FLAIR magnetic resonance.
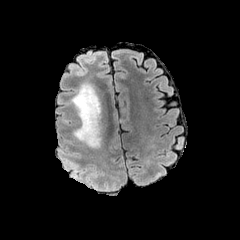
T1-weighted MR.
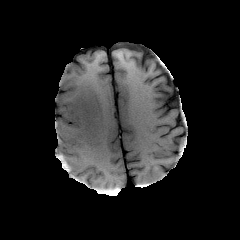
Post-contrast T1-weighted MRI.
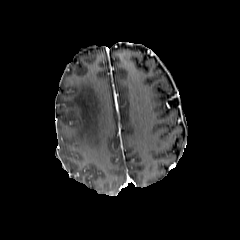
T2-weighted MR.
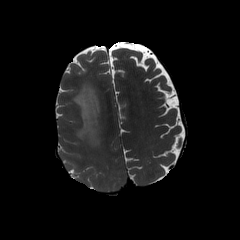
240x240.
peritumoral edema = 71:83:101:147